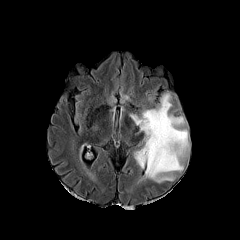
FLAIR magnetic resonance.
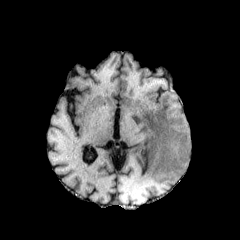
Same slice, T1-weighted MRI.
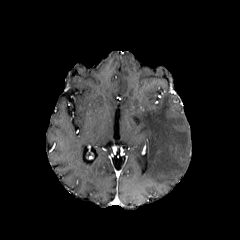
Same slice, post-contrast T1-weighted magnetic resonance.
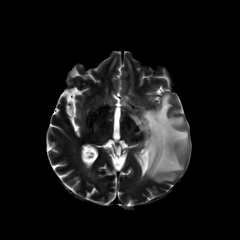
T2-weighted MR image.
Axial slice
peritumoral edema: x1=128 y1=93 x2=190 y2=182